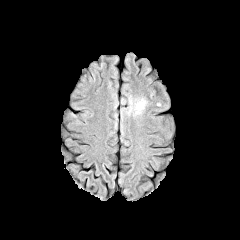
FLAIR MR.
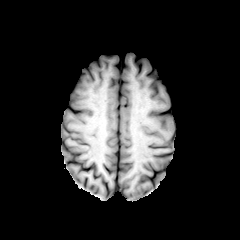
Same slice, T1-weighted magnetic resonance.
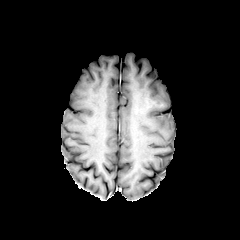
Post-contrast T1-weighted MR.
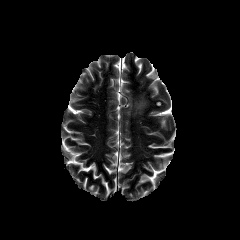
T2-weighted MRI.
240x240; Axial slice
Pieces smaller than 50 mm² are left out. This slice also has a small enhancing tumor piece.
peritumoral edema at (left=127, top=96, right=145, bottom=115)